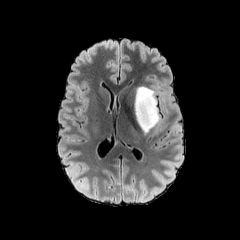
FLAIR MR.
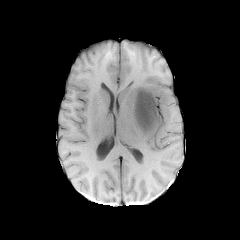
T1-weighted magnetic resonance.
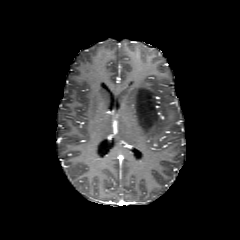
Same slice, post-contrast T1-weighted magnetic resonance.
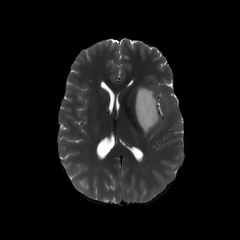
T2-weighted MRI.
Axial view
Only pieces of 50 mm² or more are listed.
peritumoral edema: [135, 86, 160, 134]